Head, 240x240 px, Axial view, Slice 119/155, Image width 240 mm, 1.00 mm slice spacing
FLAIR magnetic resonance.
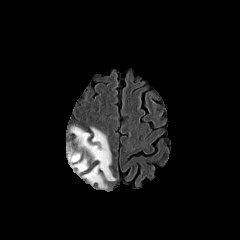
T1-weighted MR.
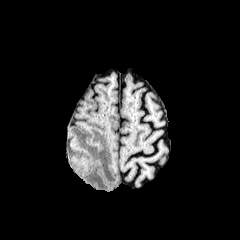
Post-contrast T1-weighted magnetic resonance.
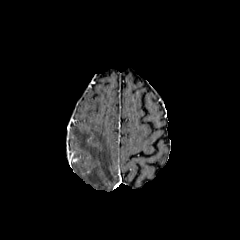
T2-weighted magnetic resonance.
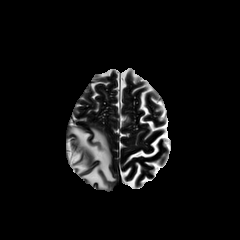
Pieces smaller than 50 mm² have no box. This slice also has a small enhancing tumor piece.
{
  "peritumoral_edema": [
    "70,126,115,189",
    "68,149,88,174"
  ]
}